240x240
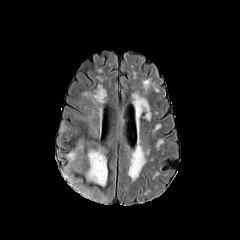
FLAIR MRI.
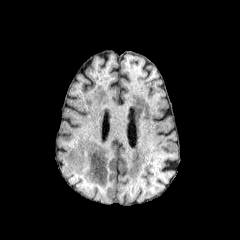
Same slice, T1-weighted MR image.
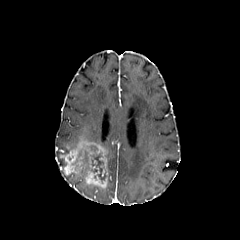
Post-contrast T1-weighted MR.
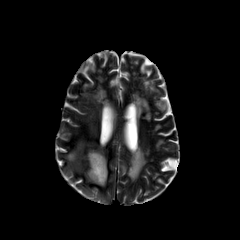
T2-weighted magnetic resonance.
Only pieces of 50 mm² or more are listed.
Annotated regions:
• enhancing tumor: rect(60, 138, 107, 187)
• necrotic tumor core: rect(90, 153, 106, 180)
• peritumoral edema: rect(74, 167, 88, 182); rect(73, 149, 88, 165)